FLAIR MR image.
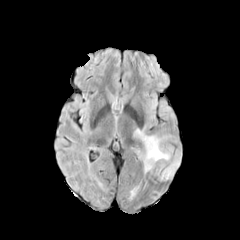
T1-weighted MR image.
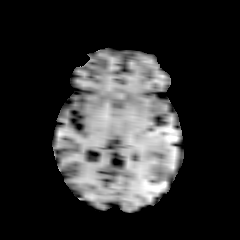
Post-contrast T1-weighted MRI.
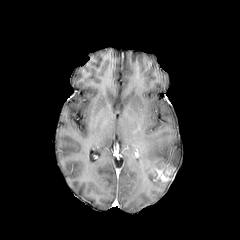
T2-weighted MRI.
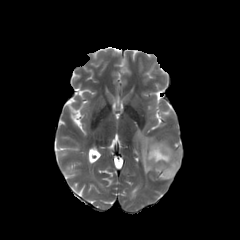
Axial view
peritumoral_edema:
  - {"x1": 135, "y1": 129, "x2": 179, "y2": 173}
enhancing_tumor:
  - {"x1": 151, "y1": 163, "x2": 175, "y2": 181}